Image size 240x240 | Brain
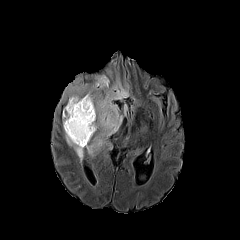
FLAIR MR.
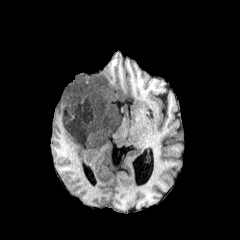
Same slice, T1-weighted MR image.
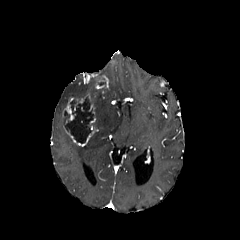
Post-contrast T1-weighted MR of the same slice.
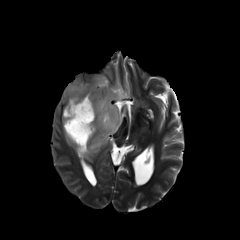
T2-weighted MRI.
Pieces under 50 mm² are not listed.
Findings:
* enhancing tumor: box(62, 74, 108, 146)
* peritumoral edema: box(61, 78, 91, 101); box(64, 130, 84, 161); box(84, 77, 129, 156)
* necrotic tumor core: box(65, 97, 93, 143)